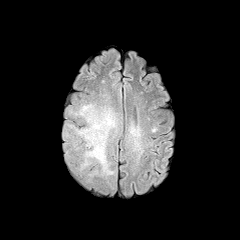
FLAIR MR image.
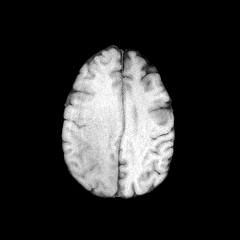
T1-weighted MRI.
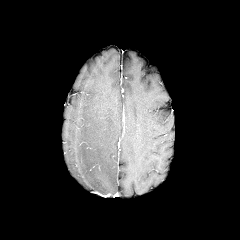
Same slice, post-contrast T1-weighted MR image.
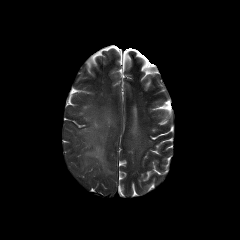
Same slice, T2-weighted MR image.
Brain. Image size 240x240.
<segmentation>
  <peritumoral_edema>bbox=[129, 126, 138, 135]; bbox=[70, 103, 118, 177]</peritumoral_edema>
</segmentation>